FLAIR MRI.
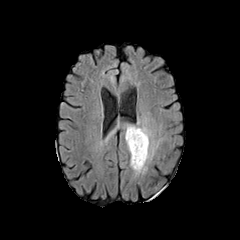
T1-weighted MR.
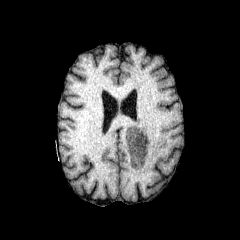
Post-contrast T1-weighted MR image.
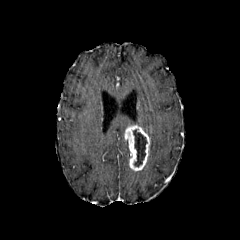
T2-weighted MR image.
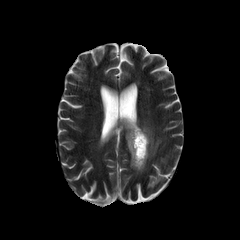
Axial view. 240x240.
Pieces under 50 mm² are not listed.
enhancing tumor = (left=124, top=125, right=150, bottom=171)
necrotic tumor core = (left=133, top=130, right=146, bottom=166)
peritumoral edema = (left=135, top=123, right=160, bottom=174)